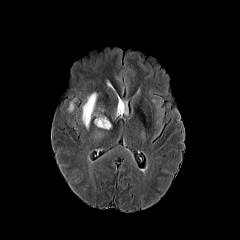
FLAIR MR image.
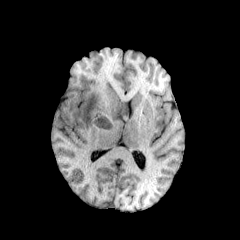
T1-weighted MR image.
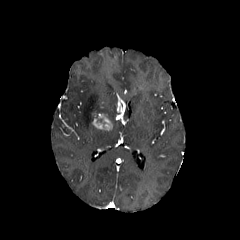
Same slice, post-contrast T1-weighted MR image.
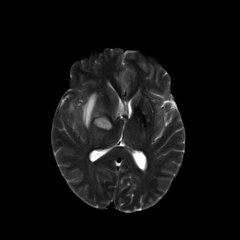
T2-weighted magnetic resonance.
Axial slice
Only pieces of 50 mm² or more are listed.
- peritumoral edema: 68:99:75:111, 81:92:97:129
- enhancing tumor: 92:112:112:130, 116:96:122:117